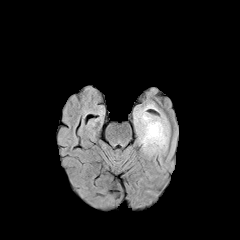
FLAIR MR image.
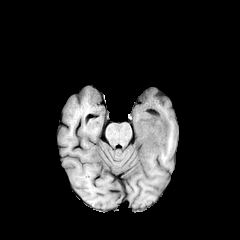
T1-weighted magnetic resonance of the same slice.
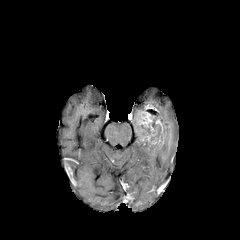
Same slice, post-contrast T1-weighted MR image.
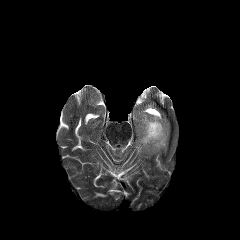
Same slice, T2-weighted MRI.
Image size 240x240.
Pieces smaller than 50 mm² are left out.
3 peritumoral edema regions appear at x1=136, y1=127, x2=170, y2=156; x1=133, y1=106, x2=144, y2=130; x1=146, y1=102, x2=169, y2=125. The largest necrotic tumor core region is at x1=141, y1=125, x2=150, y2=135. The largest enhancing tumor region appears at x1=136, y1=104, x2=169, y2=146.